FLAIR MR image.
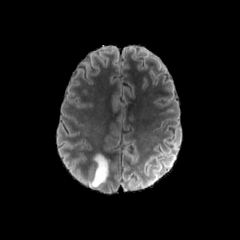
T1-weighted MRI.
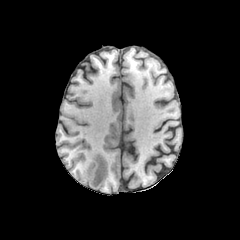
Post-contrast T1-weighted MR.
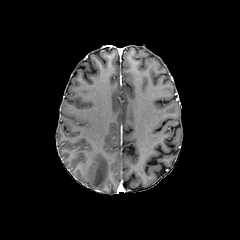
T2-weighted MR image.
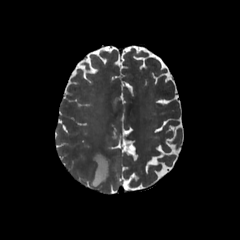
Brain.
Annotated regions:
* peritumoral edema: 91:154:108:187